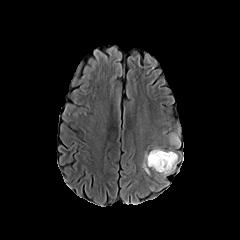
FLAIR MR image.
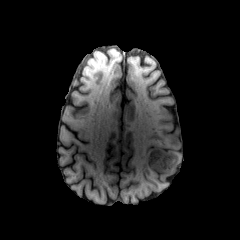
T1-weighted MR image.
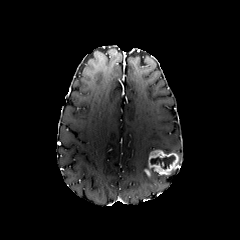
Post-contrast T1-weighted magnetic resonance of the same slice.
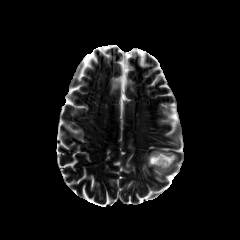
T2-weighted magnetic resonance of the same slice.
Axial plane
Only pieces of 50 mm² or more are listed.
Findings:
- peritumoral edema: [153, 147, 173, 153], [142, 151, 148, 168], [176, 151, 183, 163], [168, 121, 181, 148]
- necrotic tumor core: [150, 155, 175, 169]
- enhancing tumor: [148, 149, 178, 174]